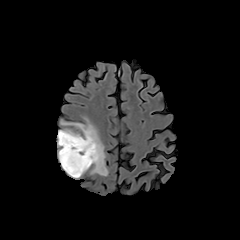
FLAIR MRI.
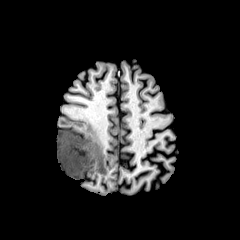
T1-weighted magnetic resonance.
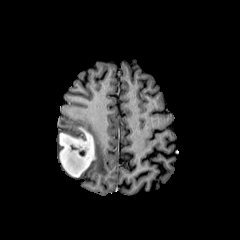
Post-contrast T1-weighted MRI of the same slice.
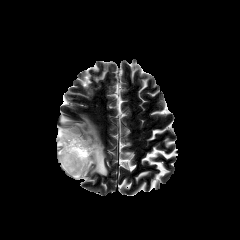
T2-weighted MR.
Brain; 240x240
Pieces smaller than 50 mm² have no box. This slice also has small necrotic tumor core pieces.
peritumoral edema at left=57, top=117, right=108, bottom=179
enhancing tumor at left=59, top=127, right=95, bottom=177